Brain | Slice index 38
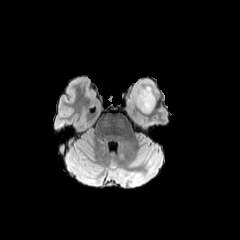
FLAIR MRI.
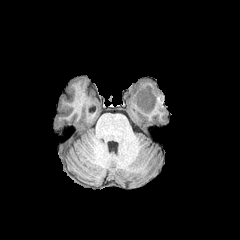
T1-weighted MR image of the same slice.
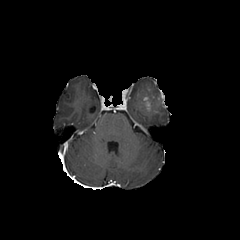
Same slice, post-contrast T1-weighted MRI.
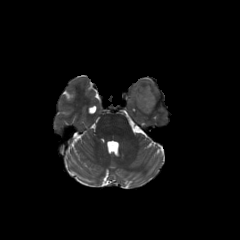
T2-weighted MR image of the same slice.
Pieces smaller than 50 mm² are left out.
The largest peritumoral edema region is bounded by 128,78,159,112. The enhancing tumor is bounded by 141,95,153,111.